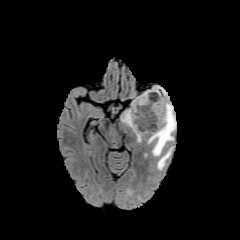
FLAIR MR.
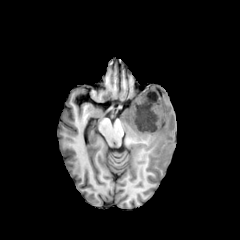
T1-weighted MR of the same slice.
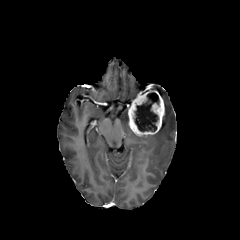
Post-contrast T1-weighted MR of the same slice.
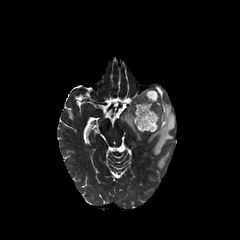
T2-weighted magnetic resonance.
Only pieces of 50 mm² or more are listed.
enhancing tumor: bbox=[128, 90, 164, 135] | necrotic tumor core: bbox=[135, 92, 159, 131] | peritumoral edema: bbox=[121, 110, 128, 126]; bbox=[148, 86, 176, 169]